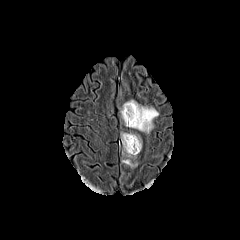
FLAIR MRI.
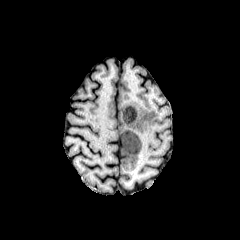
Same slice, T1-weighted MRI.
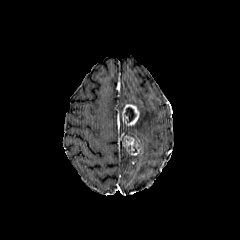
Same slice, post-contrast T1-weighted MR image.
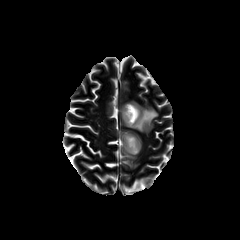
T2-weighted MR.
Brain; 240x240
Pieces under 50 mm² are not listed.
necrotic tumor core: bounding box x1=125, y1=107, x2=135, y2=122
enhancing tumor: bounding box x1=122, y1=135, x2=141, y2=155; x1=122, y1=104, x2=139, y2=126
peritumoral edema: bounding box x1=123, y1=100, x2=158, y2=133; x1=122, y1=159, x2=137, y2=167